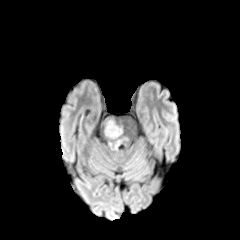
FLAIR magnetic resonance.
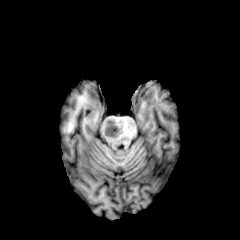
Same slice, T1-weighted MR image.
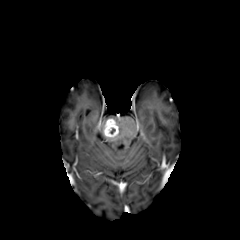
Same slice, post-contrast T1-weighted MRI.
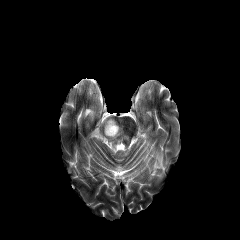
T2-weighted MRI of the same slice.
Axial slice.
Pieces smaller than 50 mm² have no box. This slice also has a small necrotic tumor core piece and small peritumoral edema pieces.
{"enhancing_tumor": ["(104,118,118,137)"]}